FLAIR MRI.
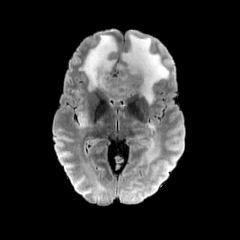
T1-weighted MR image.
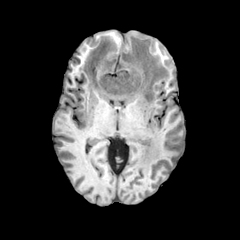
Post-contrast T1-weighted MR.
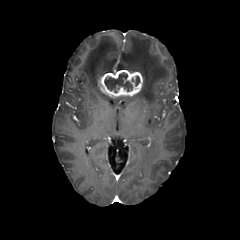
T2-weighted magnetic resonance.
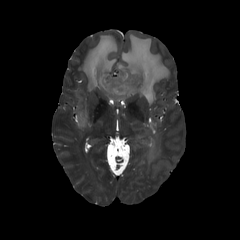
Brain, Axial view
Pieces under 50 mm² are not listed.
The 4 largest peritumoral edema regions are bounded by 77, 89, 87, 128; 118, 33, 169, 104; 136, 121, 160, 168; 80, 35, 117, 90. The largest necrotic tumor core region is located at 104, 73, 132, 92. The enhancing tumor is bounded by 98, 70, 143, 97.